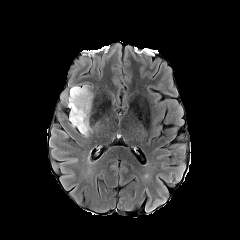
FLAIR MRI.
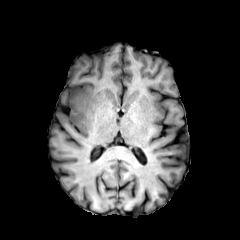
T1-weighted MRI.
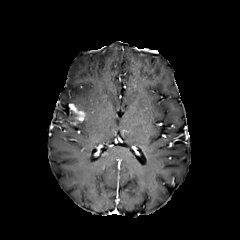
Post-contrast T1-weighted MR.
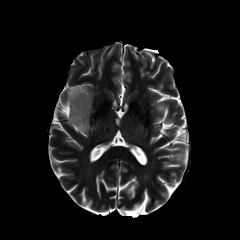
T2-weighted MR image.
Head, Axial slice
peritumoral_edema:
  - 67 84 93 136
enhancing_tumor:
  - 69 103 85 124